Axial view, 240x240, Image width 240 mm
FLAIR MRI.
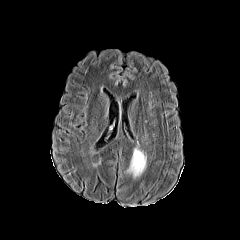
T1-weighted magnetic resonance.
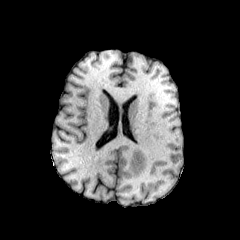
Post-contrast T1-weighted MRI.
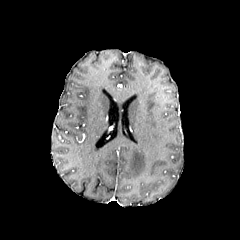
T2-weighted MR image.
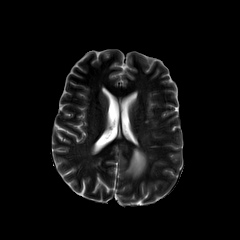
peritumoral edema — bbox=[126, 147, 146, 179]